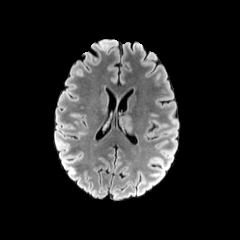
FLAIR MR image.
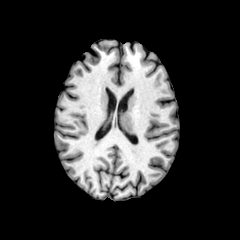
T1-weighted MRI.
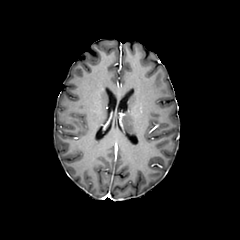
Post-contrast T1-weighted magnetic resonance.
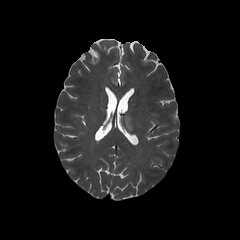
T2-weighted magnetic resonance of the same slice.
240x240 px; Axial slice
{"peritumoral_edema": ["x1=120 y1=115 x2=134 y2=135"]}